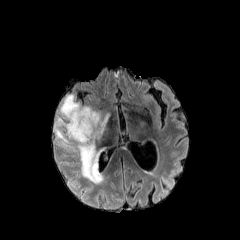
FLAIR magnetic resonance.
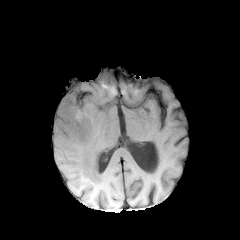
T1-weighted MR image.
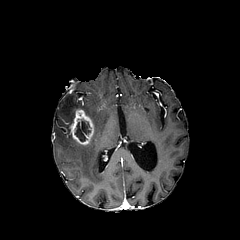
Post-contrast T1-weighted MR.
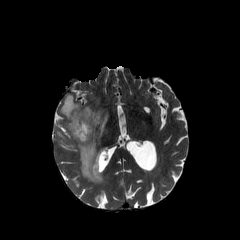
T2-weighted MR image of the same slice.
Brain | Axial plane
necrotic tumor core — (75,120,90,141)
peritumoral edema — (55,94,110,183)
enhancing tumor — (69,109,94,145)